Brain; Slice 44 of 155
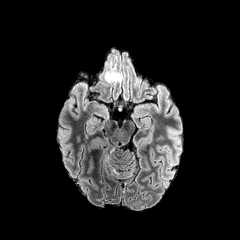
FLAIR MR.
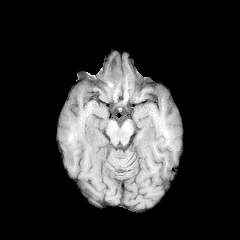
T1-weighted MRI.
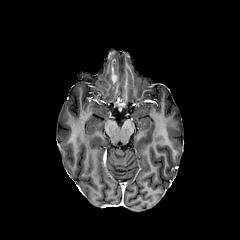
Post-contrast T1-weighted MRI.
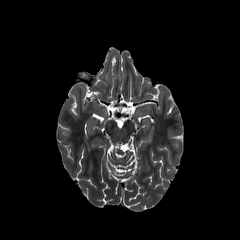
T2-weighted magnetic resonance.
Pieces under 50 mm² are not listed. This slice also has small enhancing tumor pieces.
peritumoral edema: bounding box (105, 72, 120, 83)